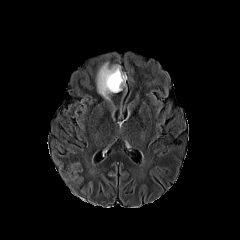
FLAIR magnetic resonance.
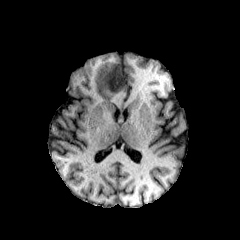
T1-weighted MRI.
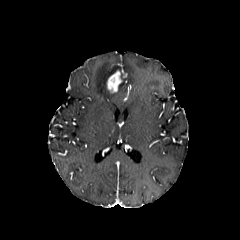
Same slice, post-contrast T1-weighted MR image.
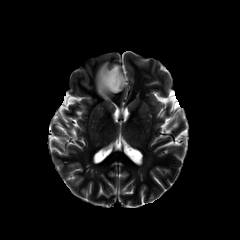
T2-weighted MR of the same slice.
Image size 240x240
Findings:
- peritumoral edema: left=96, top=62, right=126, bottom=100
- enhancing tumor: left=106, top=70, right=122, bottom=93